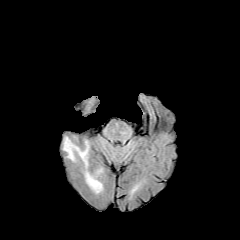
FLAIR MR.
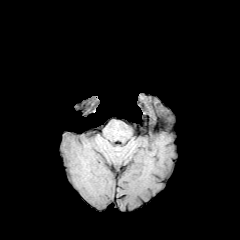
T1-weighted MRI.
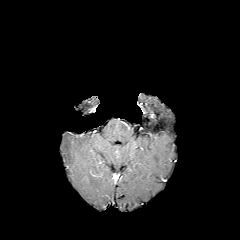
Post-contrast T1-weighted MR image.
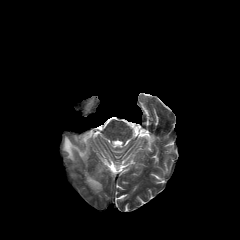
T2-weighted MRI of the same slice.
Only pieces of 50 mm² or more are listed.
<segmentation>
  <peritumoral_edema>(x1=63, y1=137, x2=89, y2=166), (x1=85, y1=171, x2=102, y2=193)</peritumoral_edema>
</segmentation>